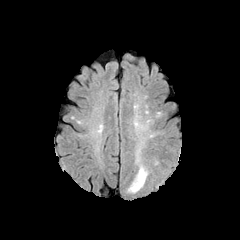
FLAIR MRI.
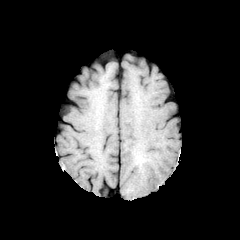
T1-weighted MR image of the same slice.
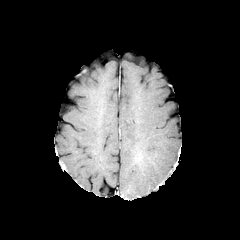
Post-contrast T1-weighted MR.
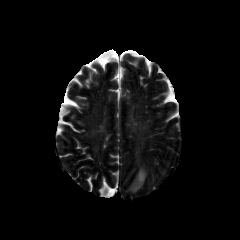
T2-weighted MRI of the same slice.
Axial slice
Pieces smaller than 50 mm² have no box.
The largest peritumoral edema region is at box(128, 165, 149, 192).